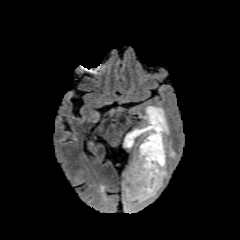
FLAIR MR image.
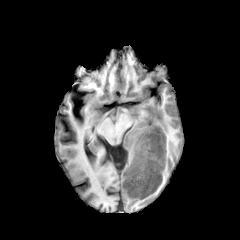
T1-weighted MR of the same slice.
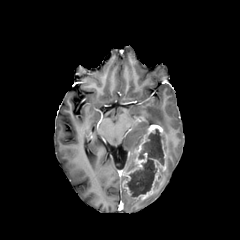
Same slice, post-contrast T1-weighted MR.
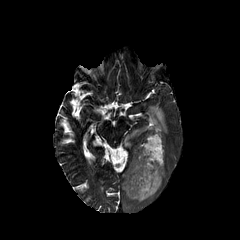
T2-weighted MR image.
Axial plane, 240x240
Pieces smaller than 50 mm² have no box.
The largest necrotic tumor core region is at box(126, 129, 164, 197). The 2 largest peritumoral edema regions are located at box(122, 187, 156, 212); box(124, 106, 168, 148). The enhancing tumor is at box(122, 124, 166, 200).